Axial plane
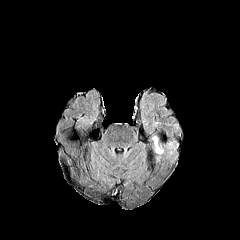
FLAIR magnetic resonance.
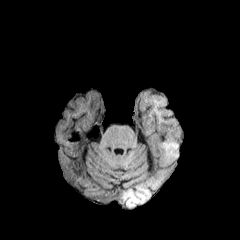
T1-weighted MR of the same slice.
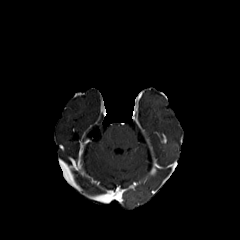
Post-contrast T1-weighted MRI.
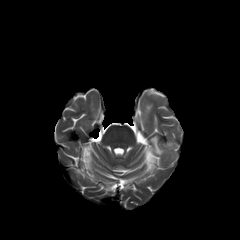
Same slice, T2-weighted MR image.
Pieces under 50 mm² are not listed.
peritumoral edema — rect(153, 137, 163, 153)